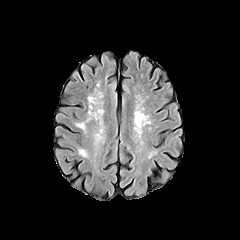
FLAIR MRI.
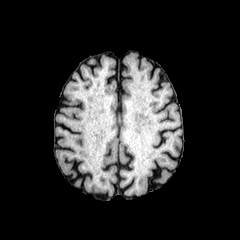
T1-weighted MR of the same slice.
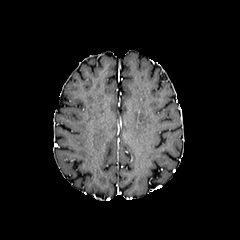
Same slice, post-contrast T1-weighted MR image.
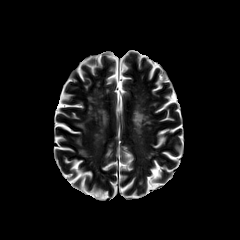
T2-weighted MR.
peritumoral edema = (74,123,85,130)